FLAIR magnetic resonance.
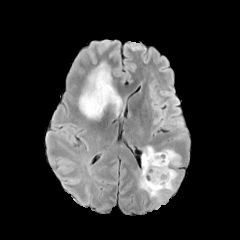
T1-weighted magnetic resonance.
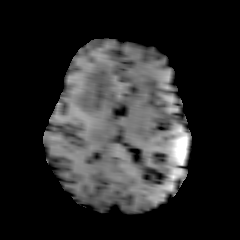
Post-contrast T1-weighted MR image.
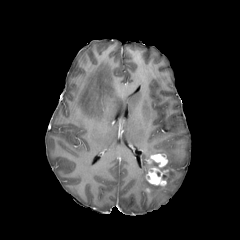
T2-weighted MR.
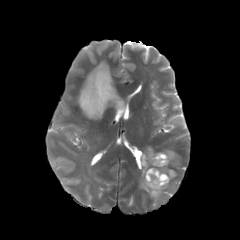
Head, Axial view, 240x240
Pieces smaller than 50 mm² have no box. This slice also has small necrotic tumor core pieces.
enhancing tumor — 146:153:168:185
peritumoral edema — 79:63:121:119, 140:146:180:200